FLAIR magnetic resonance.
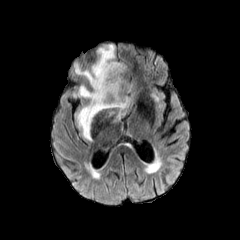
T1-weighted MRI.
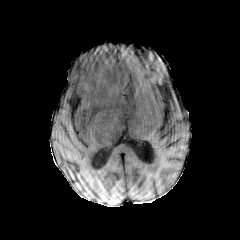
Post-contrast T1-weighted MR image.
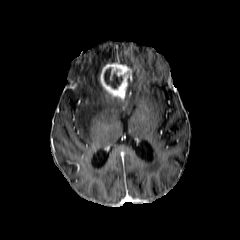
T2-weighted magnetic resonance.
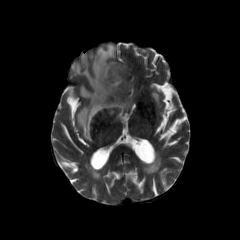
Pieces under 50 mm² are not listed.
The largest enhancing tumor region lies within rect(99, 62, 131, 102). The largest peritumoral edema region is located at rect(75, 44, 130, 139). The necrotic tumor core is bounded by rect(104, 68, 122, 88).